FLAIR MR.
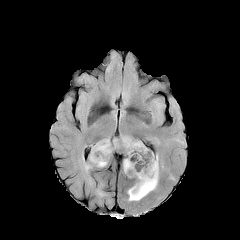
T1-weighted MRI.
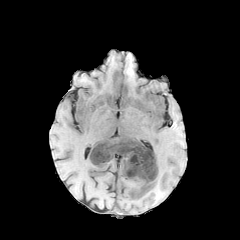
Post-contrast T1-weighted MR.
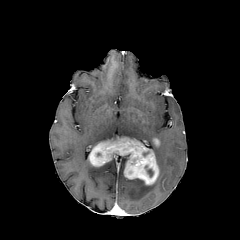
T2-weighted MR.
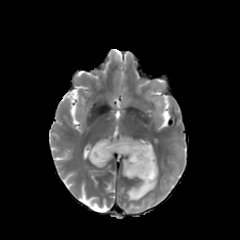
Image size 240x240
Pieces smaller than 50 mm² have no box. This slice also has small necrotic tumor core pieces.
{
  "peritumoral_edema": [
    "127,176,158,200"
  ],
  "enhancing_tumor": [
    "89,137,158,185"
  ]
}